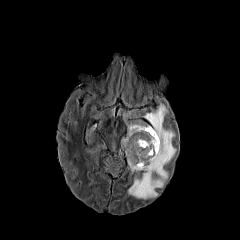
FLAIR MR.
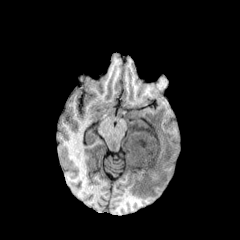
T1-weighted magnetic resonance.
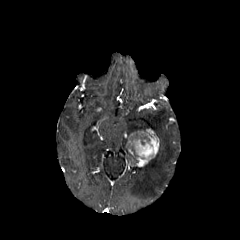
Post-contrast T1-weighted MRI.
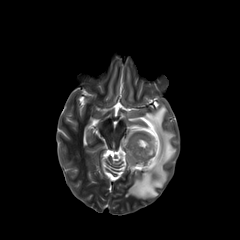
T2-weighted MR of the same slice.
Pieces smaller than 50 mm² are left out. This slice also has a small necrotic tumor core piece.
peritumoral edema: bounding box 121 103 176 199
enhancing tumor: bounding box 126 128 159 166